FLAIR MR.
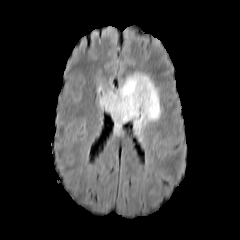
T1-weighted MRI.
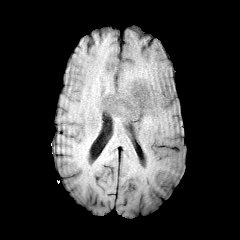
Post-contrast T1-weighted MRI.
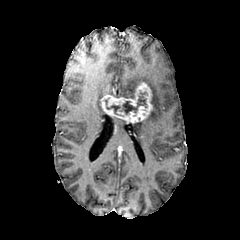
T2-weighted magnetic resonance.
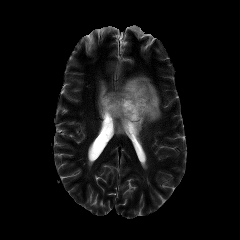
Axial plane
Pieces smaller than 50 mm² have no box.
<segmentation>
  <necrotic_tumor_core>x1=106 y1=105 x2=120 y2=114, x1=119 y1=92 x2=146 y2=114</necrotic_tumor_core>
  <peritumoral_edema>x1=112 y1=117 x2=125 y2=133, x1=99 y1=73 x2=160 y2=135</peritumoral_edema>
  <enhancing_tumor>x1=100 y1=82 x2=153 y2=122</enhancing_tumor>
</segmentation>